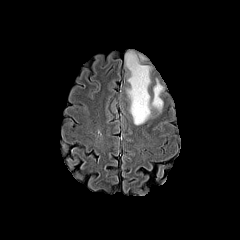
FLAIR magnetic resonance.
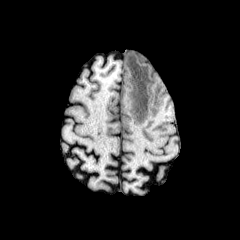
T1-weighted MR image.
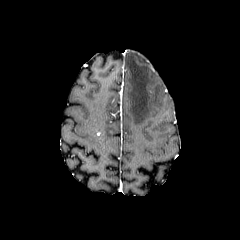
Same slice, post-contrast T1-weighted MRI.
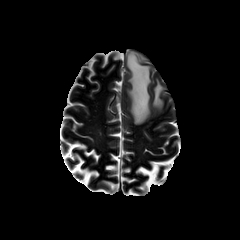
T2-weighted magnetic resonance.
Axial slice; Brain
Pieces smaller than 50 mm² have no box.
- peritumoral edema: (125,52,150,124), (151,80,163,111)